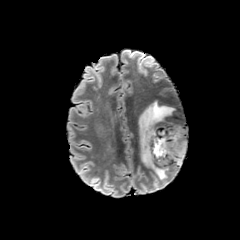
FLAIR MR.
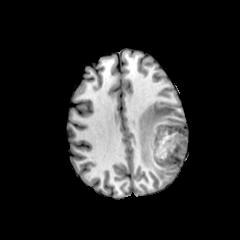
T1-weighted MR.
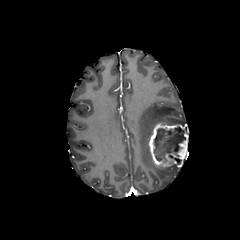
Post-contrast T1-weighted magnetic resonance.
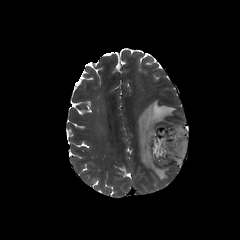
T2-weighted magnetic resonance.
Head
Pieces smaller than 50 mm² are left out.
The enhancing tumor is located at bbox=[148, 123, 188, 167]. The largest necrotic tumor core region is located at bbox=[153, 126, 185, 164]. The largest peritumoral edema region is bounded by bbox=[138, 99, 184, 179].